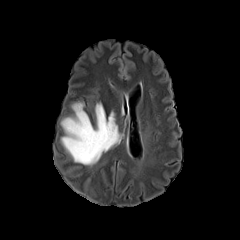
FLAIR magnetic resonance.
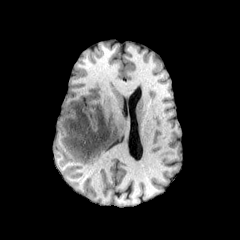
T1-weighted MR image.
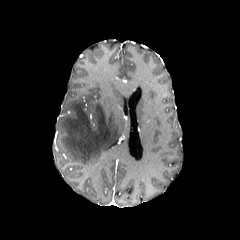
Post-contrast T1-weighted MR image.
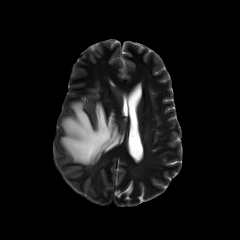
T2-weighted MR.
Axial slice
<segmentation>
  <peritumoral_edema>l=61, t=102, r=120, b=165</peritumoral_edema>
</segmentation>